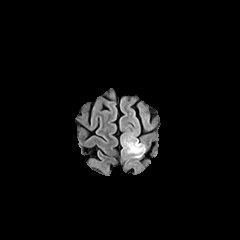
FLAIR magnetic resonance.
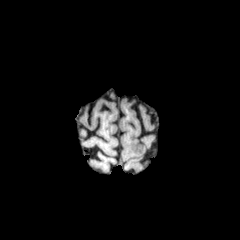
T1-weighted MR.
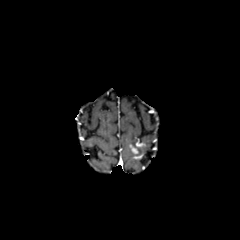
Post-contrast T1-weighted MR image of the same slice.
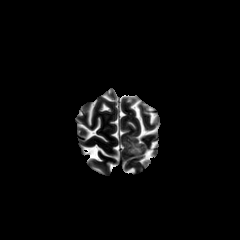
Same slice, T2-weighted MRI.
Axial slice | Head | Image size 240x240
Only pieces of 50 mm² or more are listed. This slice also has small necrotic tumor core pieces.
enhancing_tumor:
  - {"x1": 129, "y1": 141, "x2": 144, "y2": 158}
peritumoral_edema:
  - {"x1": 122, "y1": 132, "x2": 137, "y2": 157}